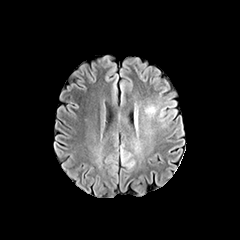
FLAIR MRI.
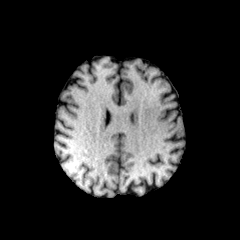
T1-weighted magnetic resonance.
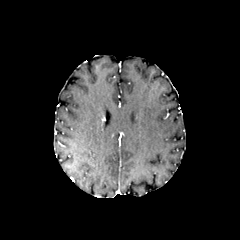
Post-contrast T1-weighted MR image.
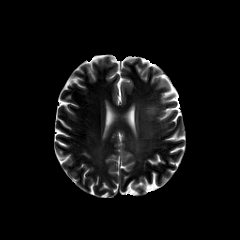
T2-weighted MR image.
Head
Findings:
* peritumoral edema: (x1=145, y1=106, x2=156, y2=119)